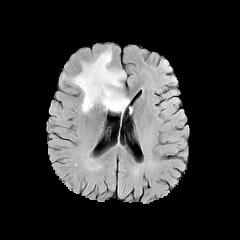
FLAIR MR image.
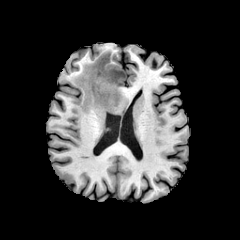
T1-weighted MR.
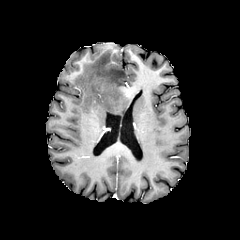
Post-contrast T1-weighted magnetic resonance.
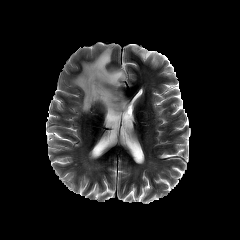
T2-weighted MR image.
Head | Axial slice
{"peritumoral_edema": ["72, 48, 129, 113"]}